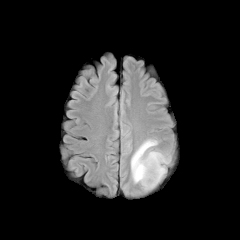
FLAIR MRI.
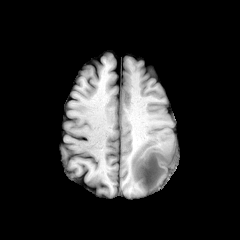
T1-weighted MR image of the same slice.
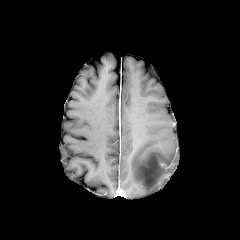
Post-contrast T1-weighted MR.
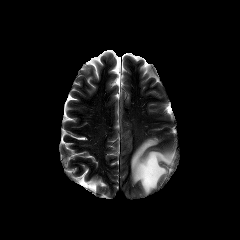
T2-weighted MR image of the same slice.
Segmented structures:
* peritumoral edema: 131,139,171,191